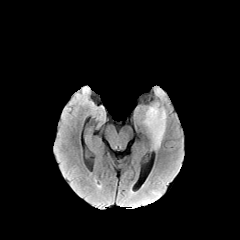
FLAIR MRI.
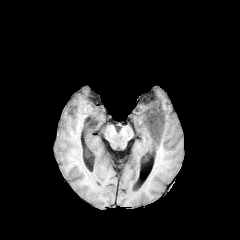
T1-weighted magnetic resonance of the same slice.
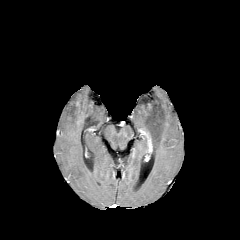
Post-contrast T1-weighted MR image.
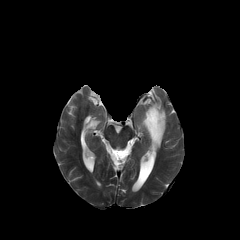
T2-weighted MRI.
Axial plane | Head
peritumoral edema = region(143, 103, 166, 149)